FLAIR MR image.
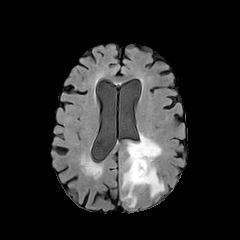
T1-weighted MR image.
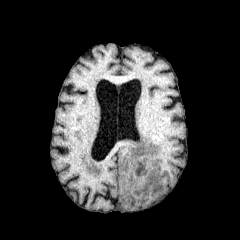
Post-contrast T1-weighted MR.
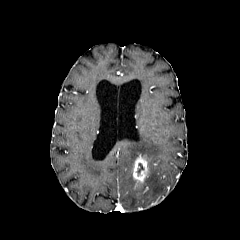
T2-weighted MR image.
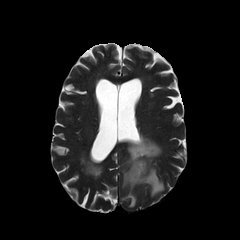
240x240 | Head | Axial slice
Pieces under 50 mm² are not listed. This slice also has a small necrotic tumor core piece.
Annotated regions:
* enhancing tumor: region(132, 154, 148, 185)
* peritumoral edema: region(122, 134, 164, 207)